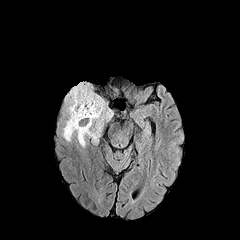
FLAIR MR image.
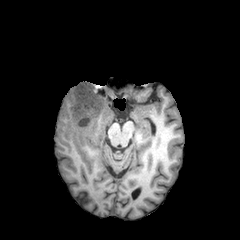
T1-weighted MR image.
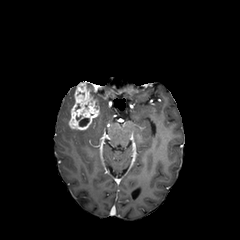
Post-contrast T1-weighted magnetic resonance of the same slice.
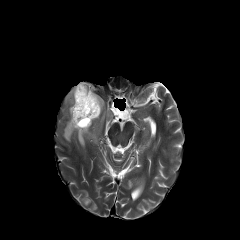
T2-weighted MR image.
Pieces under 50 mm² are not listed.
peritumoral_edema:
  - box(65, 86, 76, 119)
  - box(63, 90, 112, 147)
enhancing_tumor:
  - box(68, 82, 99, 130)
necrotic_tumor_core:
  - box(79, 118, 89, 126)